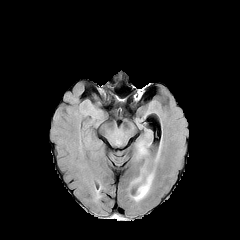
FLAIR MR.
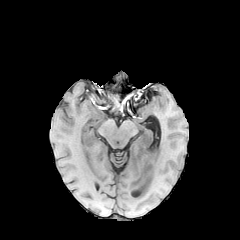
T1-weighted magnetic resonance.
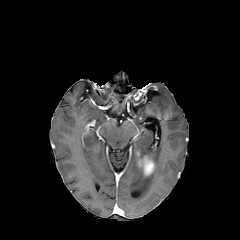
Post-contrast T1-weighted magnetic resonance of the same slice.
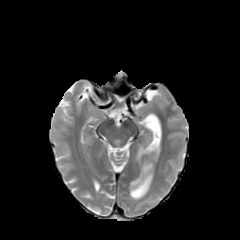
T2-weighted MRI.
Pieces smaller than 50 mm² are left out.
enhancing tumor at [136, 156, 154, 175]
peritumoral edema at [137, 142, 147, 158], [131, 167, 153, 201]